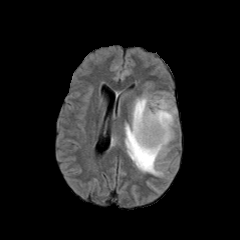
FLAIR magnetic resonance.
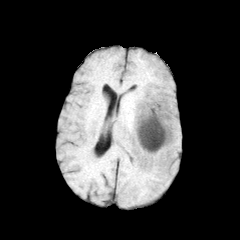
Same slice, T1-weighted MR image.
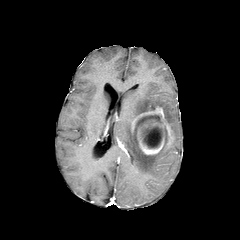
Same slice, post-contrast T1-weighted MR.
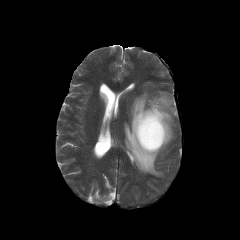
T2-weighted MR.
Axial plane | Head
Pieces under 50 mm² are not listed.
peritumoral edema = bbox=[124, 92, 176, 176]
enhancing tumor = bbox=[132, 106, 173, 155]
necrotic tumor core = bbox=[134, 115, 167, 148]